FLAIR MRI.
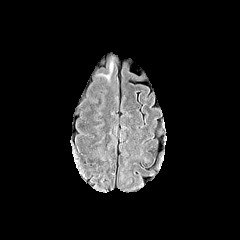
T1-weighted MR.
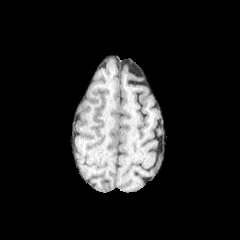
Post-contrast T1-weighted MR image.
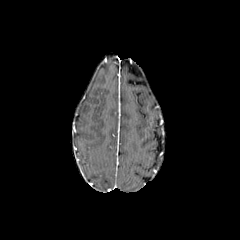
T2-weighted magnetic resonance.
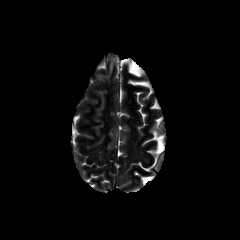
Brain; Axial plane
The peritumoral edema is at [95, 62, 114, 82].